Axial plane, Brain, Image width 240 mm, 1.00 mm slice spacing
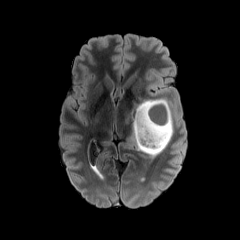
FLAIR MR.
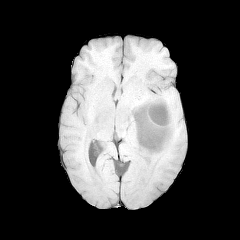
T1-weighted MR image of the same slice.
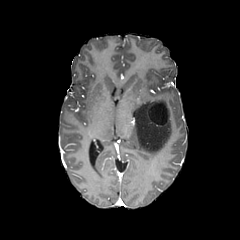
Post-contrast T1-weighted MRI.
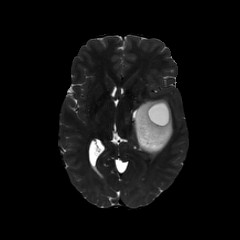
T2-weighted magnetic resonance.
peritumoral edema at (132,99,173,156)
necrotic tumor core at (148,103,167,124)
enhancing tumor at (147,102,169,125)